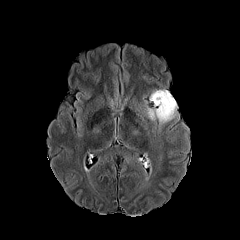
FLAIR magnetic resonance.
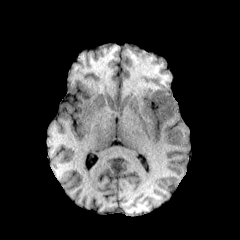
T1-weighted MRI.
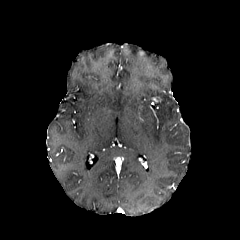
Same slice, post-contrast T1-weighted MR image.
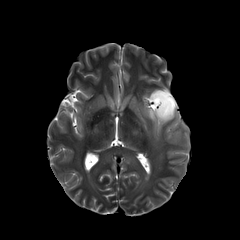
Same slice, T2-weighted MR image.
Brain
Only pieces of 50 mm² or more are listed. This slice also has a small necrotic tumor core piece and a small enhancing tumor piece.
peritumoral edema at (146, 106, 155, 120), (149, 89, 177, 123)